Image width 240 mm, 1.00 mm slice spacing, Brain, Slice index 122, Axial view
FLAIR MRI.
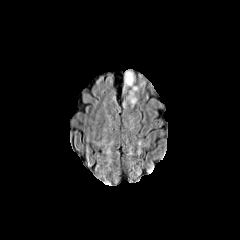
T1-weighted magnetic resonance.
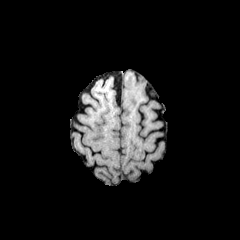
Post-contrast T1-weighted MRI.
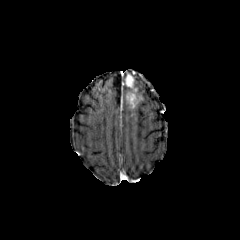
T2-weighted MR image.
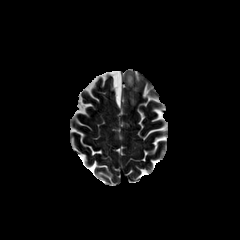
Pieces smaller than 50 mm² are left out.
enhancing tumor: x1=127 y1=93 x2=136 y2=106, x1=125 y1=74 x2=133 y2=87 | peritumoral edema: x1=125 y1=79 x2=138 y2=104